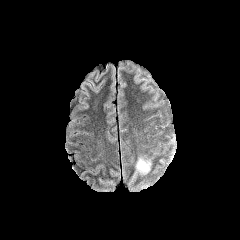
FLAIR magnetic resonance.
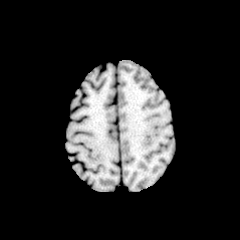
T1-weighted magnetic resonance.
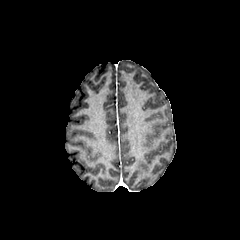
Post-contrast T1-weighted MR image.
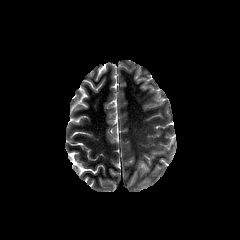
T2-weighted MRI.
Brain
peritumoral edema = bbox(137, 159, 149, 173)